240x240 px. Axial slice.
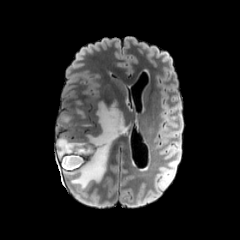
FLAIR MR.
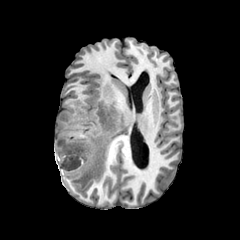
Same slice, T1-weighted magnetic resonance.
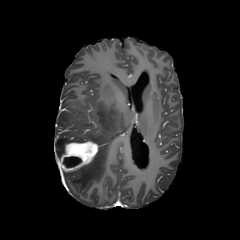
Same slice, post-contrast T1-weighted magnetic resonance.
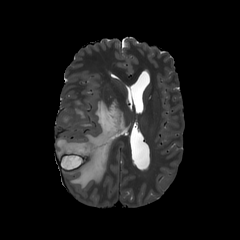
Same slice, T2-weighted MRI.
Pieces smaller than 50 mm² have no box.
peritumoral edema: region(56, 101, 126, 189); region(61, 114, 71, 122) | enhancing tumor: region(58, 140, 99, 172) | necrotic tumor core: region(63, 156, 81, 167)